FLAIR MR image.
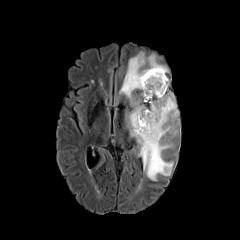
T1-weighted MR image.
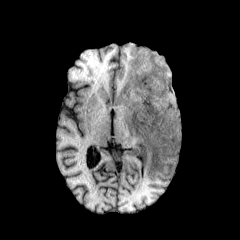
Post-contrast T1-weighted MR image.
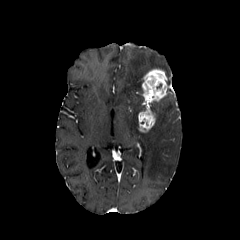
T2-weighted magnetic resonance.
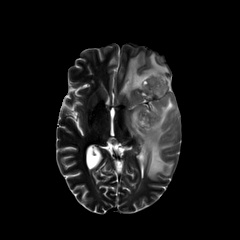
Head. Axial view. 240x240.
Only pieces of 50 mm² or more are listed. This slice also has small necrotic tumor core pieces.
• peritumoral edema: <box>119,52,178,180</box>
• enhancing tumor: <box>141,68,168,101</box>, <box>138,107,156,132</box>